FLAIR MRI.
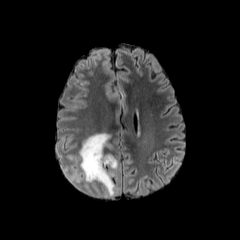
T1-weighted MR image.
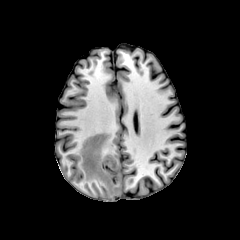
Post-contrast T1-weighted MRI.
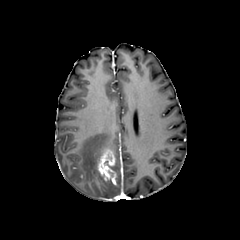
T2-weighted magnetic resonance.
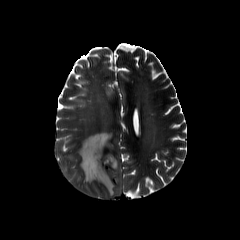
Brain
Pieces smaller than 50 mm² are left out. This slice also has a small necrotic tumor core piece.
The enhancing tumor appears at 96:152:116:181. The largest peritumoral edema region lies within 79:133:115:196.